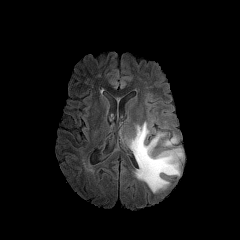
FLAIR MR.
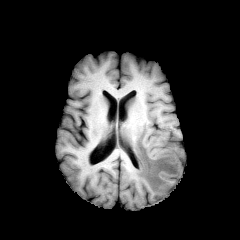
T1-weighted MR image.
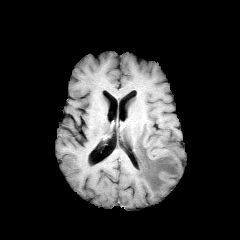
Same slice, post-contrast T1-weighted magnetic resonance.
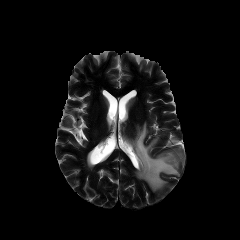
T2-weighted MRI.
Axial slice
peritumoral edema: region(164, 135, 177, 147); region(129, 122, 183, 192)